FLAIR magnetic resonance.
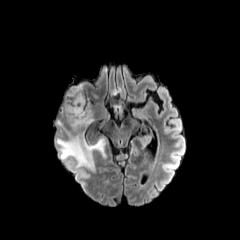
T1-weighted MR.
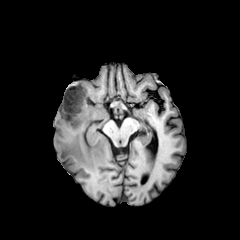
Post-contrast T1-weighted MR.
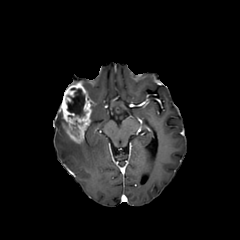
T2-weighted MRI.
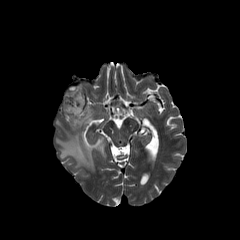
240x240 px | Axial plane
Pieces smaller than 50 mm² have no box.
enhancing tumor: box(59, 83, 91, 143)
peritumoral edema: box(56, 138, 105, 169)
necrotic tumor core: box(67, 89, 84, 116)